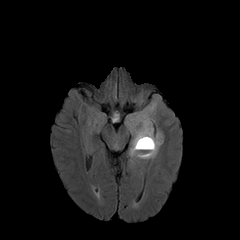
FLAIR MR image.
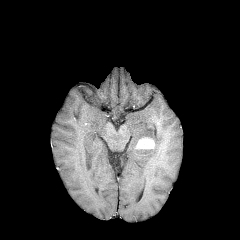
Same slice, T1-weighted MR.
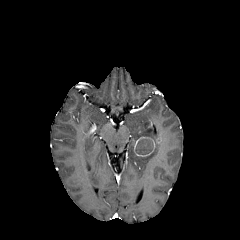
Post-contrast T1-weighted MR of the same slice.
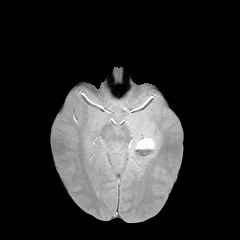
Same slice, T2-weighted magnetic resonance.
Axial slice, 240x240, Brain
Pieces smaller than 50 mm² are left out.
necrotic_tumor_core:
  - box=[135, 139, 153, 154]
peritumoral_edema:
  - box=[126, 100, 163, 160]
enhancing_tumor:
  - box=[133, 137, 154, 156]